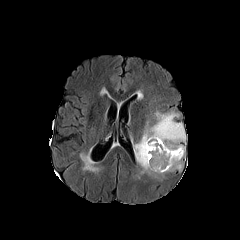
FLAIR MR image.
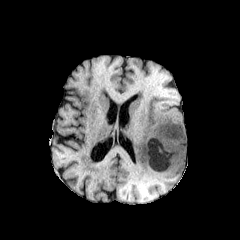
Same slice, T1-weighted MRI.
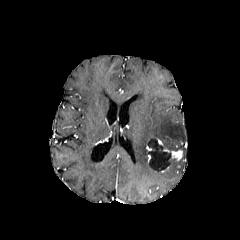
Post-contrast T1-weighted MR image of the same slice.
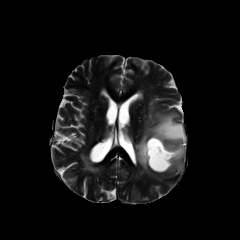
Same slice, T2-weighted MRI.
Brain
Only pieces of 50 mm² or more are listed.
2 peritumoral edema regions are located at (134, 111, 186, 177), (166, 159, 183, 171). The necrotic tumor core is at (147, 138, 171, 171). The largest enhancing tumor region lies within (157, 139, 182, 160).